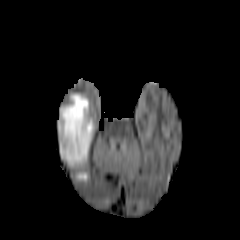
FLAIR MR.
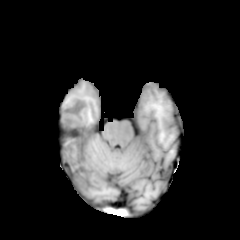
T1-weighted MR of the same slice.
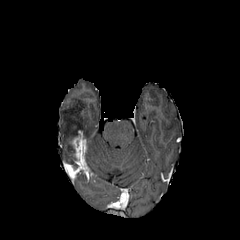
Post-contrast T1-weighted magnetic resonance.
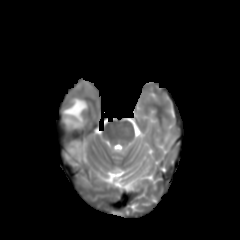
T2-weighted magnetic resonance of the same slice.
Brain, Image size 240x240
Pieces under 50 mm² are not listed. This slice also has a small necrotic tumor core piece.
peritumoral edema — [x1=75, y1=171, x2=86, y2=180], [x1=58, y1=93, x2=92, y2=164]
enhancing tumor — [x1=72, y1=129, x2=86, y2=159]